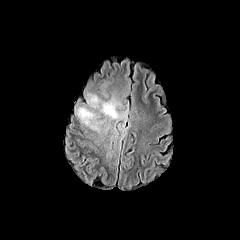
FLAIR MR image.
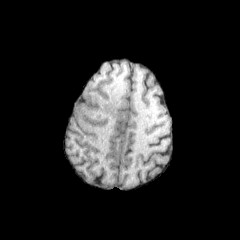
T1-weighted MR image of the same slice.
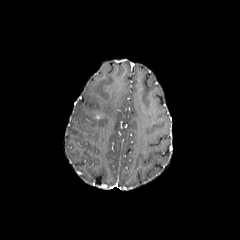
Post-contrast T1-weighted MR image of the same slice.
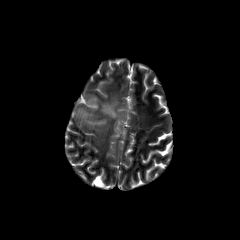
T2-weighted MRI.
Head.
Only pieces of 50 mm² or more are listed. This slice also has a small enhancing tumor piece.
{
  "peritumoral_edema": [
    "box(75, 93, 127, 132)"
  ]
}